FLAIR MR.
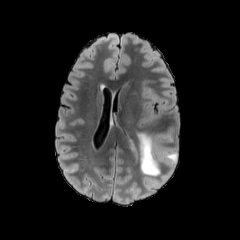
T1-weighted MRI.
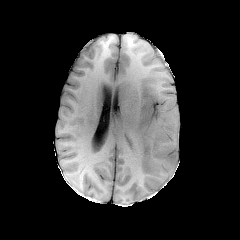
Post-contrast T1-weighted MR.
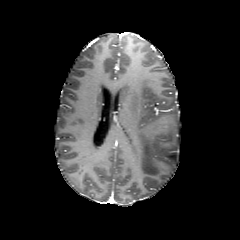
T2-weighted MRI.
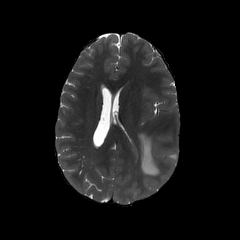
Axial plane. Head.
peritumoral edema: bounding box 138, 132, 160, 175; 162, 151, 177, 164